FLAIR MRI.
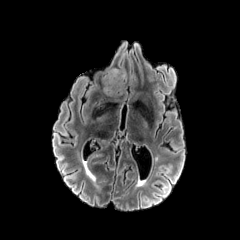
T1-weighted MRI.
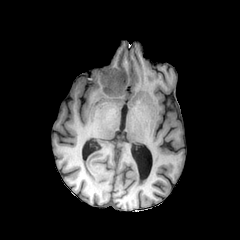
Post-contrast T1-weighted MR.
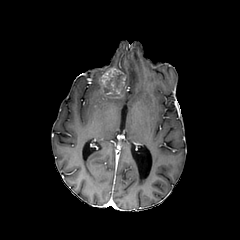
T2-weighted MRI.
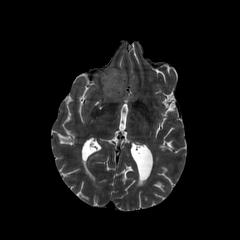
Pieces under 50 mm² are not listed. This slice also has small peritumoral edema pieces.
The enhancing tumor is located at 100 68 125 94. The largest necrotic tumor core region appears at 115 74 122 86.